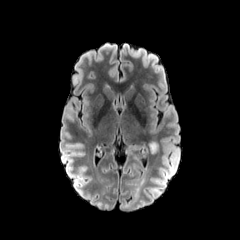
FLAIR MRI.
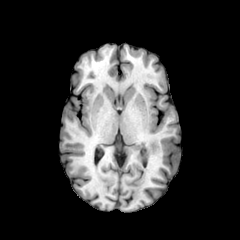
T1-weighted MR image.
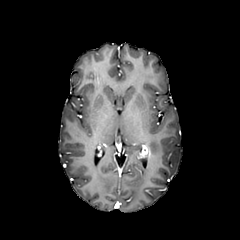
Post-contrast T1-weighted MR.
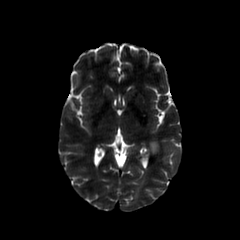
T2-weighted MR image.
Axial plane
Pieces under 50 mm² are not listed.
peritumoral edema: (x1=149, y1=141, x2=158, y2=153)